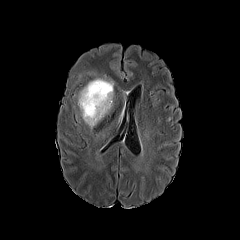
FLAIR MR.
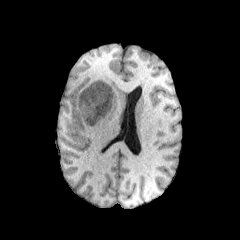
T1-weighted MR.
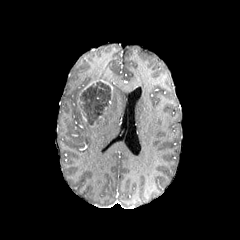
Same slice, post-contrast T1-weighted MR.
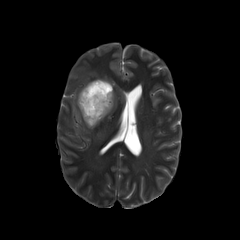
T2-weighted MR image of the same slice.
Image size 240x240.
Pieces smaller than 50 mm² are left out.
necrotic tumor core: box=[80, 82, 111, 124]
peritumoral edema: box=[73, 90, 102, 128]; box=[102, 90, 114, 117]
enhancing tumor: box=[82, 79, 113, 98]